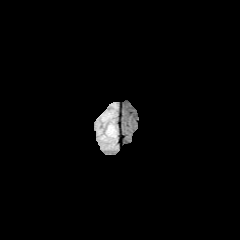
FLAIR magnetic resonance.
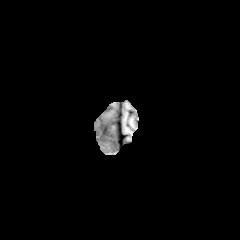
T1-weighted magnetic resonance of the same slice.
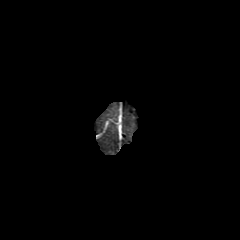
Post-contrast T1-weighted MRI.
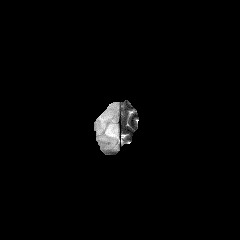
T2-weighted MR.
Brain | Axial slice
peritumoral edema = {"x1": 95, "y1": 102, "x2": 117, "y2": 149}